Axial plane
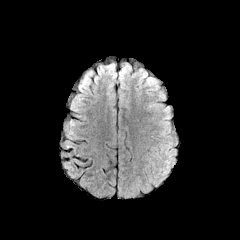
FLAIR MRI.
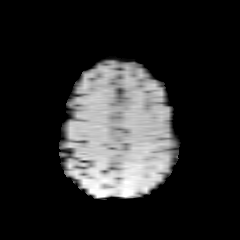
Same slice, T1-weighted MR.
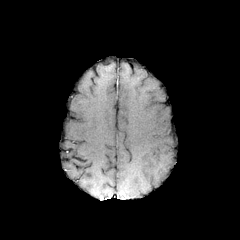
Post-contrast T1-weighted MRI.
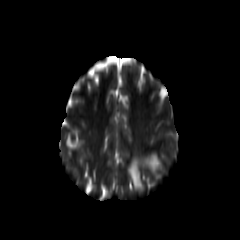
T2-weighted MR image.
Findings:
• peritumoral edema: [150,154,158,168]